Axial plane | Slice 92 of 155
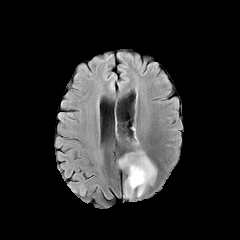
FLAIR MR.
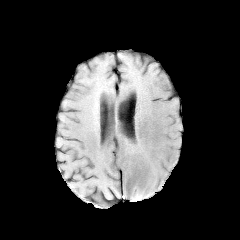
Same slice, T1-weighted MR image.
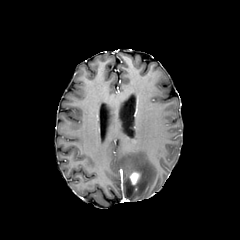
Post-contrast T1-weighted MRI.
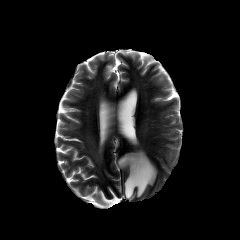
T2-weighted MR image.
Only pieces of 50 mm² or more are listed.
peritumoral edema: (left=118, top=149, right=156, bottom=199) | enhancing tumor: (left=130, top=171, right=140, bottom=184)